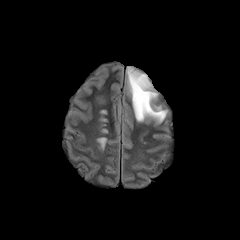
FLAIR magnetic resonance.
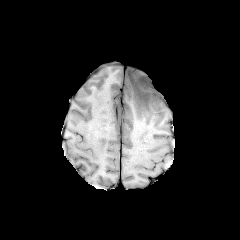
T1-weighted MR image of the same slice.
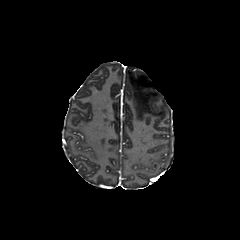
Post-contrast T1-weighted MRI.
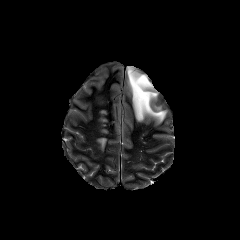
T2-weighted MR.
Head | 240x240
peritumoral edema at l=127, t=67, r=166, b=122